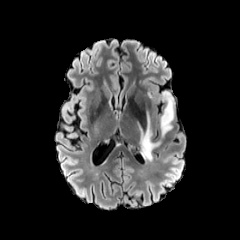
FLAIR magnetic resonance.
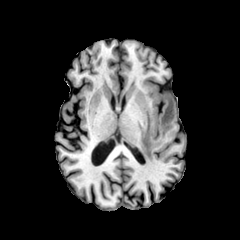
T1-weighted MRI.
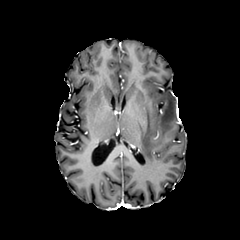
Post-contrast T1-weighted MR image of the same slice.
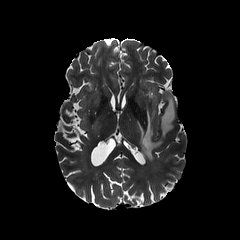
T2-weighted magnetic resonance.
Axial view. Head.
2 peritumoral edema regions appear at (136,108,161,163), (160,91,174,138).